FLAIR MR.
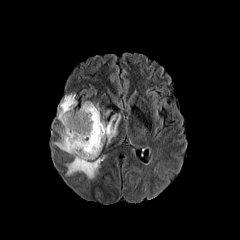
T1-weighted magnetic resonance.
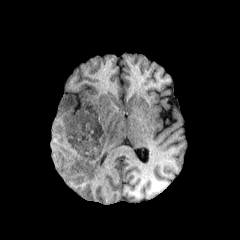
Post-contrast T1-weighted magnetic resonance.
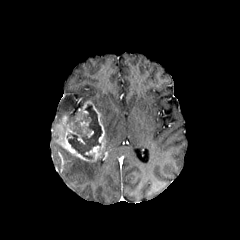
T2-weighted MR image.
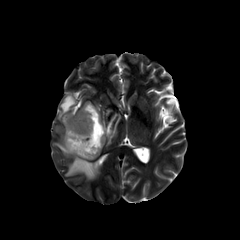
Brain
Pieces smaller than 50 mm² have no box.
The 4 largest peritumoral edema regions appear at <bbox>54, 142, 70, 153</bbox>, <bbox>102, 114, 120, 144</bbox>, <bbox>66, 156, 102, 179</bbox>, <bbox>58, 94, 76, 121</bbox>. The largest enhancing tumor region is located at <bbox>58, 101, 105, 161</bbox>. The largest necrotic tumor core region lies within <bbox>67, 104, 102, 158</bbox>.